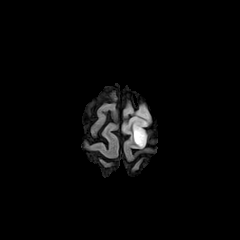
FLAIR magnetic resonance.
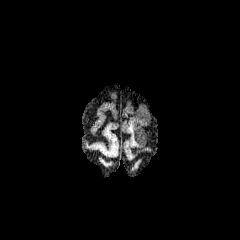
T1-weighted magnetic resonance.
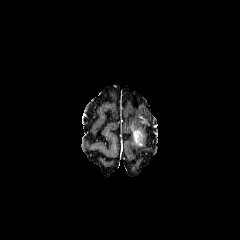
Post-contrast T1-weighted MRI.
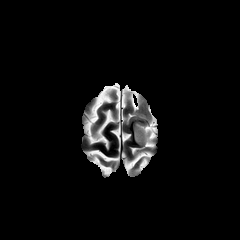
T2-weighted MR image.
Head, Axial plane
The enhancing tumor appears at [134, 130, 143, 145]. The peritumoral edema is located at [128, 110, 149, 147].